FLAIR MRI.
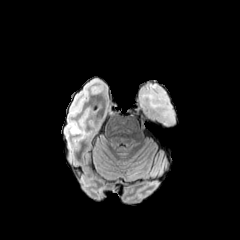
T1-weighted MR.
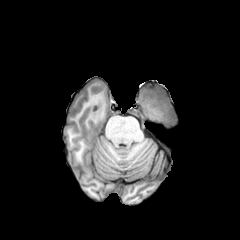
Post-contrast T1-weighted MR image.
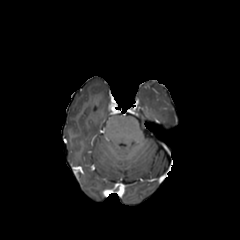
T2-weighted magnetic resonance.
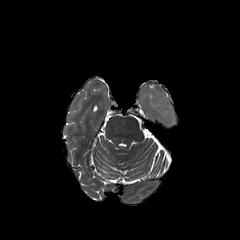
Axial plane
The peritumoral edema appears at left=139, top=83, right=175, bottom=128.